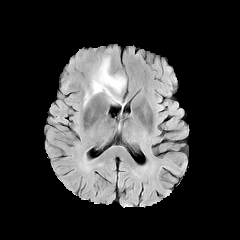
FLAIR MR.
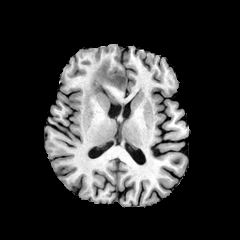
T1-weighted MR of the same slice.
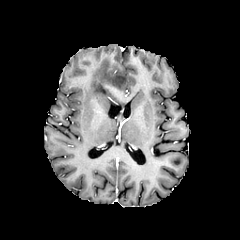
Post-contrast T1-weighted magnetic resonance.
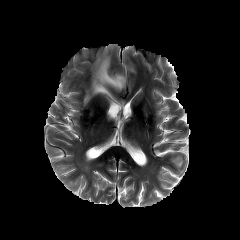
T2-weighted magnetic resonance.
Head.
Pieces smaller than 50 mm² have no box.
The largest peritumoral edema region is at <box>84,56,125,106</box>.